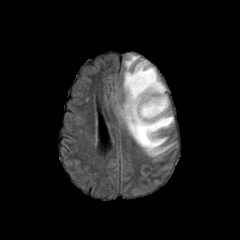
FLAIR MR.
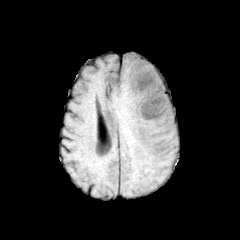
T1-weighted MR image.
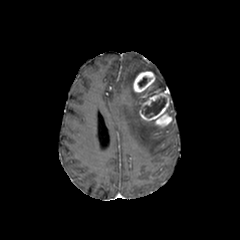
Post-contrast T1-weighted MR.
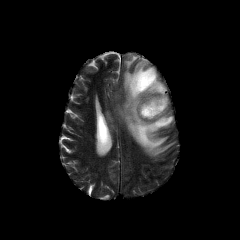
T2-weighted MR.
Head
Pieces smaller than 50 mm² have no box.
{"necrotic_tumor_core": ["(138,77,147,87)", "(142,97,166,117)"], "enhancing_tumor": ["(133,71,155,93)", "(139,89,172,127)"], "peritumoral_edema": ["(118,54,173,156)"]}